FLAIR MRI.
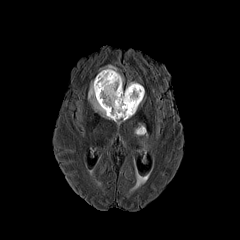
T1-weighted MR.
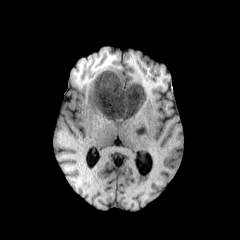
Post-contrast T1-weighted magnetic resonance.
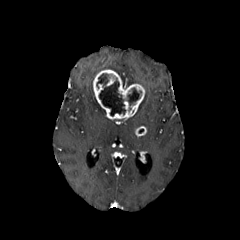
T2-weighted MRI.
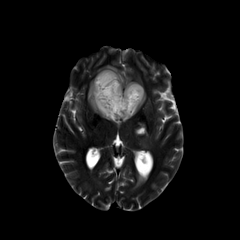
Head
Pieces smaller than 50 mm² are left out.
enhancing tumor: <bbox>135, 126, 146, 136</bbox>, <bbox>93, 69, 144, 120</bbox>
peritumoral edema: <bbox>98, 65, 123, 83</bbox>, <bbox>88, 81, 110, 119</bbox>
necrotic tumor core: <bbox>99, 78, 125, 116</bbox>, <bbox>96, 73, 108, 88</bbox>, <bbox>127, 88, 141, 105</bbox>